FLAIR MRI.
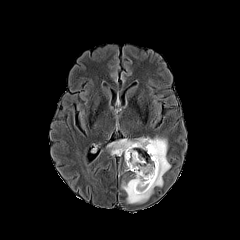
T1-weighted MR.
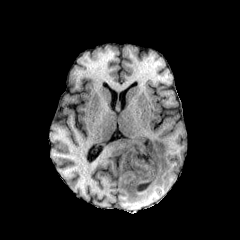
Post-contrast T1-weighted MR.
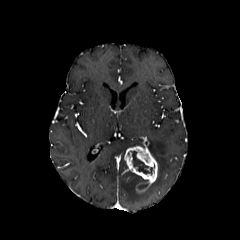
T2-weighted magnetic resonance.
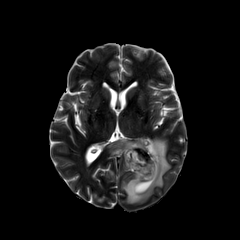
Brain
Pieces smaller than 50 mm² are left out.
Segmented structures:
* necrotic tumor core: [x1=132, y1=151, x2=152, y2=174]
* enhancing tumor: [x1=124, y1=138, x2=157, y2=192]
* peritumoral edema: [x1=121, y1=137, x2=170, y2=203], [x1=108, y1=138, x2=144, y2=154]